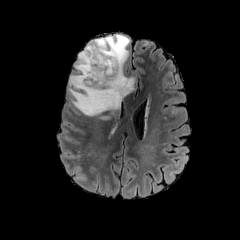
FLAIR MRI.
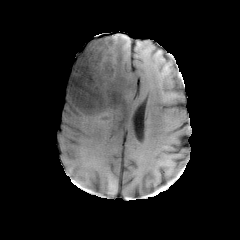
T1-weighted MRI.
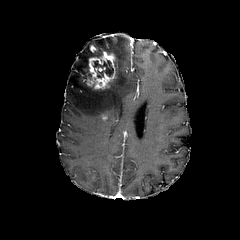
Post-contrast T1-weighted MR.
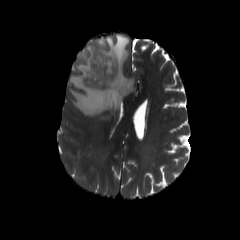
Same slice, T2-weighted magnetic resonance.
Head
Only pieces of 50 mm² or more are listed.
The largest necrotic tumor core region is at (93,60,113,77). The peritumoral edema is at (68,35,134,119). The enhancing tumor is at (82,45,115,90).